Image covers 240 mm x 240 mm. Axial view. 240x240 px. Brain.
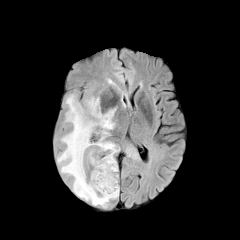
FLAIR magnetic resonance.
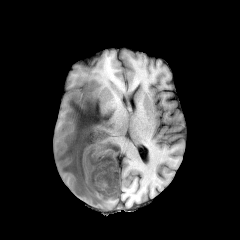
T1-weighted magnetic resonance.
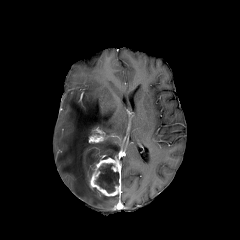
Post-contrast T1-weighted MR of the same slice.
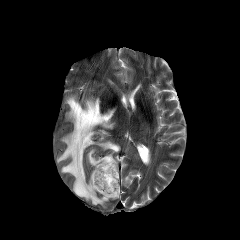
Same slice, T2-weighted MR.
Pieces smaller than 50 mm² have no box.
peritumoral edema at (57,94,119,207)
necrotic tumor core at (96,164,118,192)
enhancing tumor at (89,127,106,142), (89,156,120,196)